FLAIR MRI.
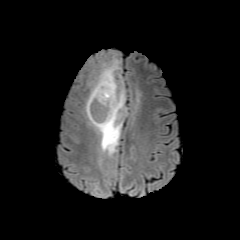
T1-weighted MRI.
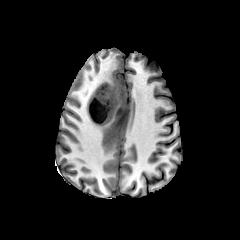
Post-contrast T1-weighted MRI.
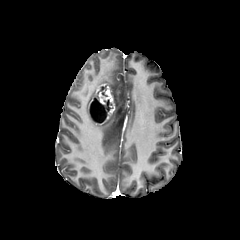
T2-weighted MRI.
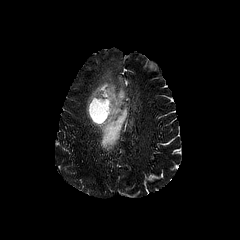
Brain
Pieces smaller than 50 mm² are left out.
peritumoral edema: [85,60,126,155]
necrotic tumor core: [104,99,112,111], [90,97,107,123], [98,84,107,96]
enhancing tumor: [89,86,114,124]